Brain
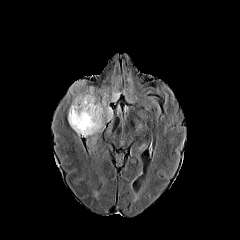
FLAIR MR.
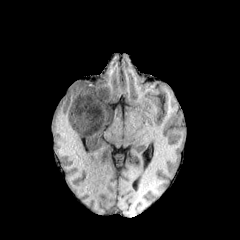
Same slice, T1-weighted MR.
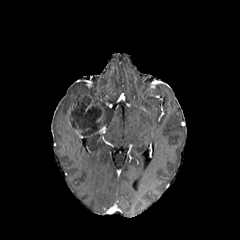
Same slice, post-contrast T1-weighted MRI.
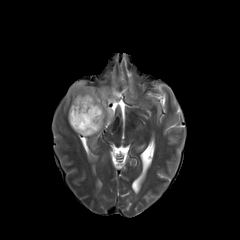
T2-weighted MRI.
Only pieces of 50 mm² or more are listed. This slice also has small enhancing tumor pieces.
The largest necrotic tumor core region is located at 70,95,103,135. The 3 largest peritumoral edema regions are bounded by 101,97,113,125; 67,82,99,122; 99,82,127,101.